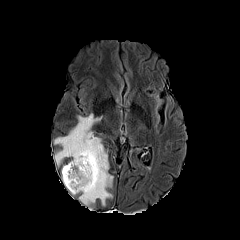
FLAIR MR image.
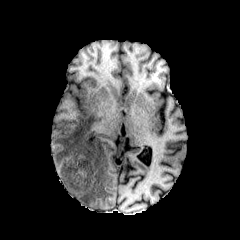
T1-weighted MRI of the same slice.
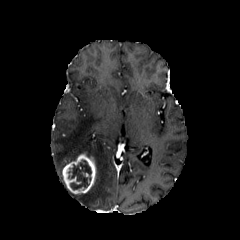
Post-contrast T1-weighted magnetic resonance.
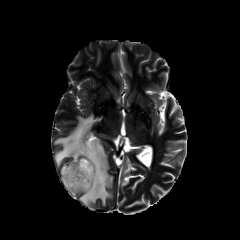
T2-weighted MRI of the same slice.
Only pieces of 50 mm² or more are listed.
<segmentation>
  <peritumoral_edema>54,113,113,209</peritumoral_edema>
  <enhancing_tumor>62,153,96,194</enhancing_tumor>
  <necrotic_tumor_core>70,160,91,189</necrotic_tumor_core>
</segmentation>